Image size 240x240; Axial plane; Image width 240 mm; Brain; Slice index 60
FLAIR MRI.
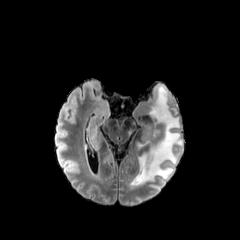
T1-weighted MR image.
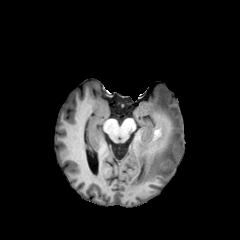
Post-contrast T1-weighted magnetic resonance.
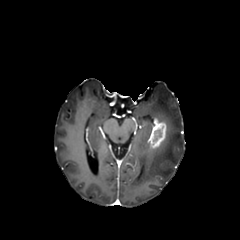
T2-weighted MR image.
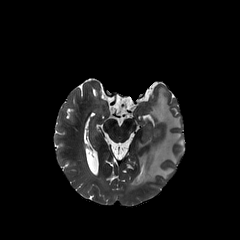
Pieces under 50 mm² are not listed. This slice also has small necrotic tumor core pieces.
The largest peritumoral edema region lies within 130 85 183 186. The enhancing tumor is bounded by 147 119 168 148.